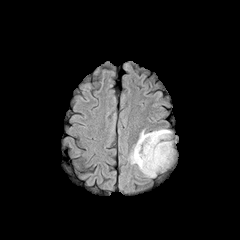
FLAIR MRI.
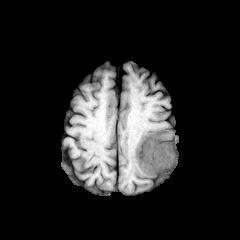
Same slice, T1-weighted MRI.
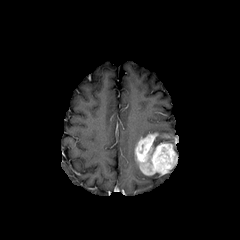
Post-contrast T1-weighted MR of the same slice.
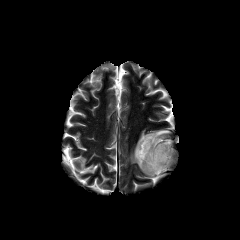
T2-weighted magnetic resonance.
Head, Image size 240x240
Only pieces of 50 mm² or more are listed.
enhancing tumor: bounding box (x1=135, y1=132, x2=177, y2=175)
peritumoral edema: bounding box (x1=128, y1=145, x2=136, y2=164), (x1=140, y1=129, x2=171, y2=147)